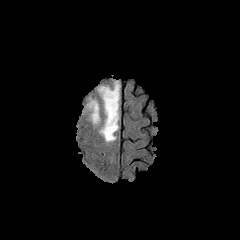
FLAIR magnetic resonance.
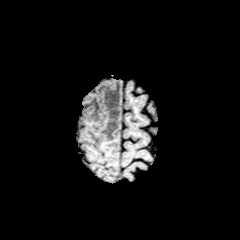
Same slice, T1-weighted MR image.
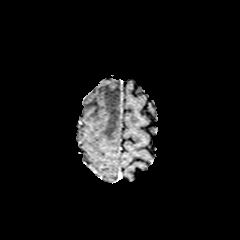
Post-contrast T1-weighted MR image.
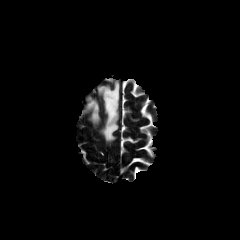
T2-weighted magnetic resonance of the same slice.
peritumoral_edema:
  - bbox(87, 98, 100, 124)
  - bbox(98, 81, 119, 142)